Image size 240x240; Head; Slice index 90
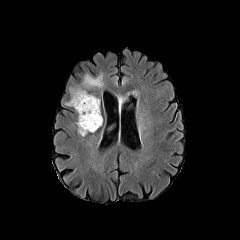
FLAIR MRI.
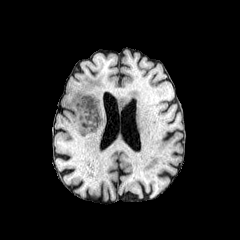
Same slice, T1-weighted magnetic resonance.
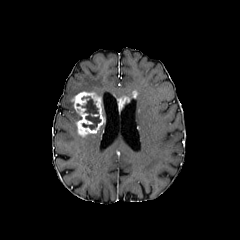
Post-contrast T1-weighted magnetic resonance.
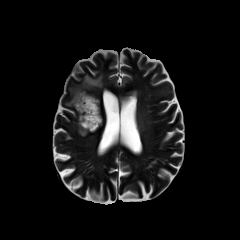
T2-weighted MR image.
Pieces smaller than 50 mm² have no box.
The largest necrotic tumor core region appears at 82,97,100,129. The largest peritumoral edema region is bounded by 70,74,103,97. The 2 largest enhancing tumor regions appear at 117,97,129,112; 71,91,104,136.